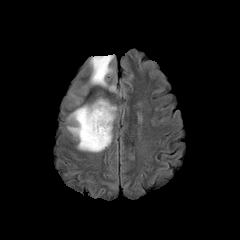
FLAIR MR.
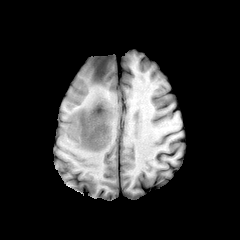
T1-weighted MRI.
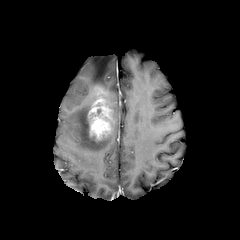
Post-contrast T1-weighted magnetic resonance.
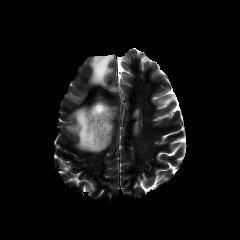
T2-weighted MRI of the same slice.
Brain
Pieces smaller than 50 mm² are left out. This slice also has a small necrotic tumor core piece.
enhancing tumor at 86:84:112:143
peritumoral edema at 108:102:116:121, 67:105:112:152, 90:55:115:90